FLAIR magnetic resonance.
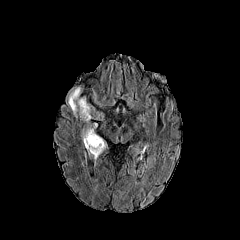
T1-weighted magnetic resonance.
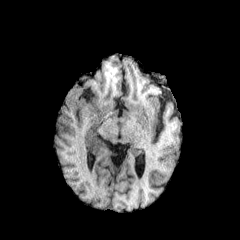
Post-contrast T1-weighted magnetic resonance.
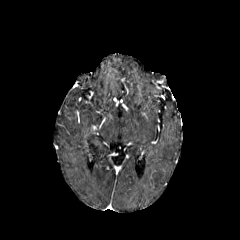
T2-weighted MR image.
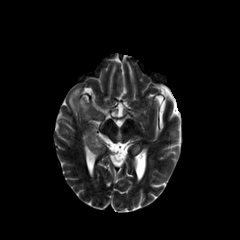
Axial plane
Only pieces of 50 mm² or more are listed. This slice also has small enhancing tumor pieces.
peritumoral edema: 65:85:107:158